Axial view. Image width 240 mm, 1.00 mm slice spacing. Image size 240x240. Slice 87 of 155.
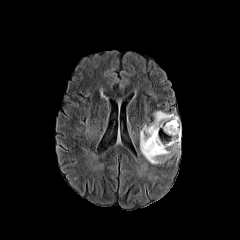
FLAIR MR image.
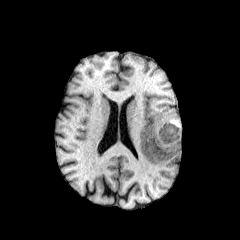
Same slice, T1-weighted magnetic resonance.
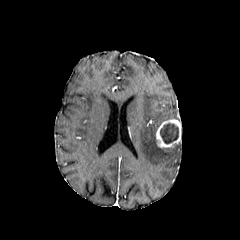
Post-contrast T1-weighted MRI.
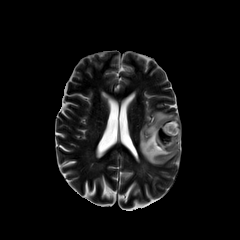
Same slice, T2-weighted magnetic resonance.
The peritumoral edema is at (140, 111, 180, 164). The enhancing tumor appears at (155, 119, 181, 147). The necrotic tumor core is bounded by (160, 123, 178, 143).